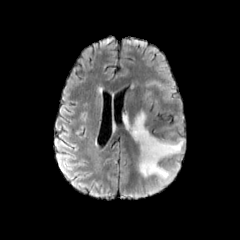
FLAIR MR image.
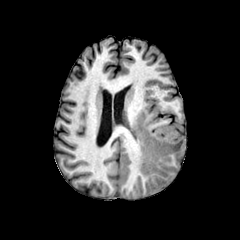
T1-weighted MR image of the same slice.
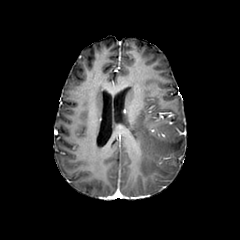
Same slice, post-contrast T1-weighted MR.
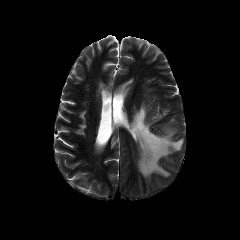
T2-weighted magnetic resonance.
Brain
peritumoral edema: <box>130,111,183,178</box>